Axial plane. Image width 240 mm, 1.00 mm slice spacing. Slice 137/155. Head.
FLAIR MRI.
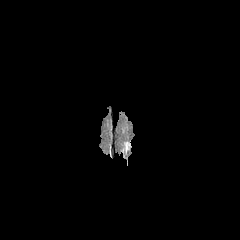
T1-weighted magnetic resonance.
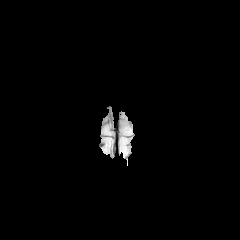
Post-contrast T1-weighted MR image.
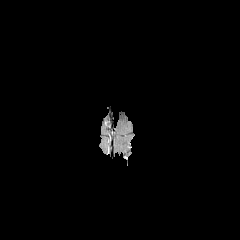
T2-weighted magnetic resonance.
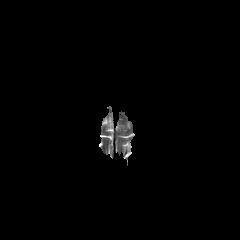
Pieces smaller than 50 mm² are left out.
<segmentation>
  <peritumoral_edema>bbox=[122, 141, 130, 152]</peritumoral_edema>
</segmentation>